FLAIR magnetic resonance.
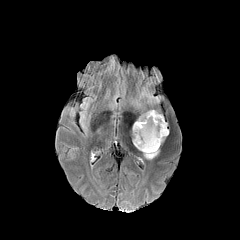
T1-weighted MRI.
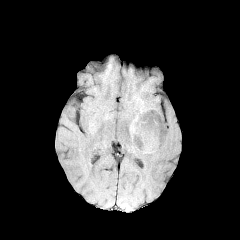
Post-contrast T1-weighted MR image.
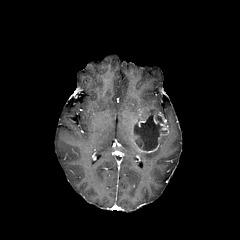
T2-weighted MR image.
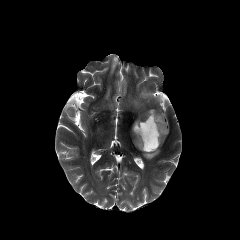
Axial slice; Head
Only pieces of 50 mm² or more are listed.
The necrotic tumor core appears at [134,113,166,150]. 2 enhancing tumor regions are located at [133,113,168,152], [134,113,153,126]. The 3 largest peritumoral edema regions appear at [137,109,160,120], [140,89,160,102], [142,148,159,159].